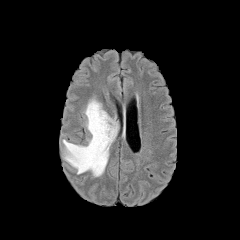
FLAIR MRI.
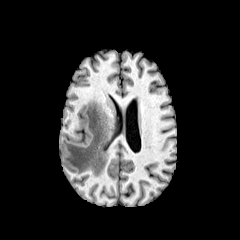
Same slice, T1-weighted MR.
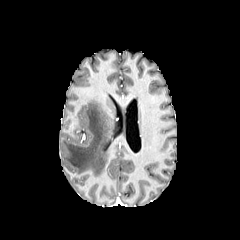
Post-contrast T1-weighted MRI of the same slice.
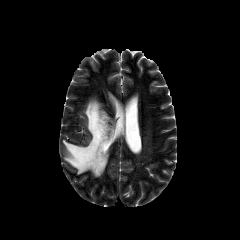
T2-weighted magnetic resonance of the same slice.
240x240.
Findings:
- peritumoral edema: rect(63, 99, 116, 176)